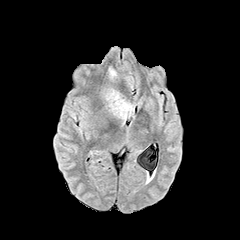
FLAIR MR image.
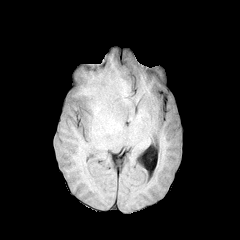
T1-weighted magnetic resonance.
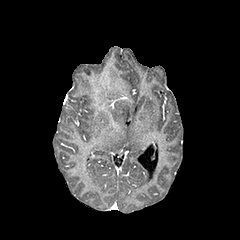
Same slice, post-contrast T1-weighted MR image.
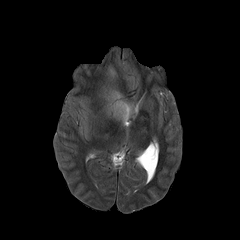
T2-weighted MR of the same slice.
2 peritumoral edema regions appear at 105, 89, 132, 120; 109, 68, 116, 78.